FLAIR magnetic resonance.
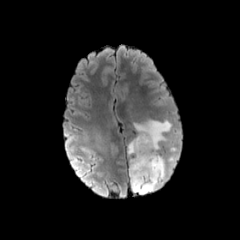
T1-weighted MRI.
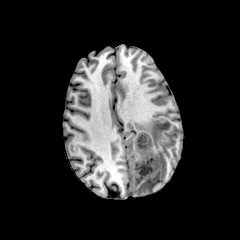
Post-contrast T1-weighted magnetic resonance.
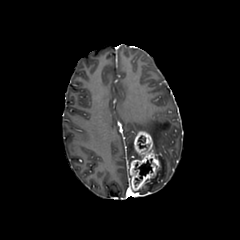
T2-weighted MR.
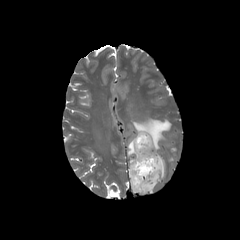
240x240, Axial view, Head
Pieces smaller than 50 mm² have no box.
peritumoral edema: (137, 154, 165, 194), (128, 139, 138, 158), (133, 119, 171, 153) | enhancing tumor: (129, 131, 160, 191) | necrotic tumor core: (134, 159, 152, 186), (138, 136, 147, 148)